Head. Axial view. Image width 240 mm, 1.00 mm slice spacing.
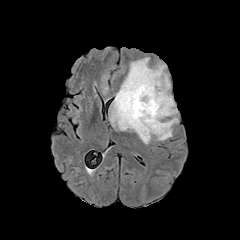
FLAIR MR.
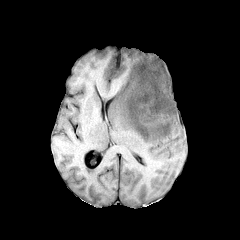
Same slice, T1-weighted magnetic resonance.
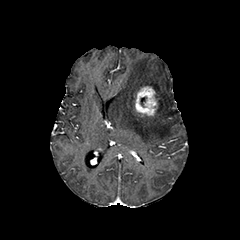
Post-contrast T1-weighted MRI.
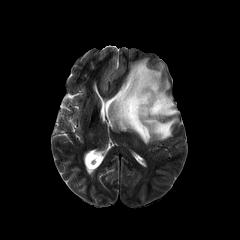
Same slice, T2-weighted MRI.
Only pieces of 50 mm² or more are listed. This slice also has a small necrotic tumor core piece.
{"enhancing_tumor": ["rect(127, 86, 158, 117)"], "peritumoral_edema": ["rect(110, 57, 178, 144)"]}